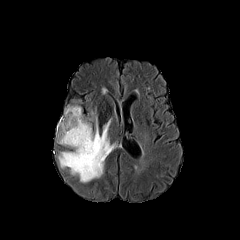
FLAIR MRI.
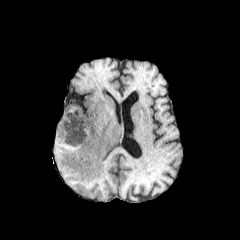
T1-weighted MR.
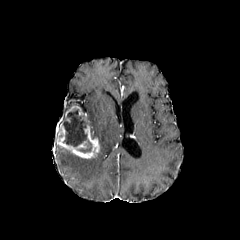
Post-contrast T1-weighted MR image.
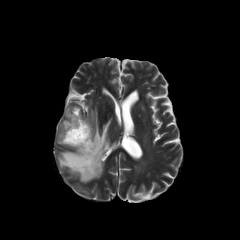
T2-weighted MR image.
Image size 240x240. Brain.
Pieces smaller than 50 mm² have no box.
<segmentation>
  <necrotic_tumor_core><bbox>79, 140, 91, 152</bbox>, <bbox>63, 108, 89, 146</bbox></necrotic_tumor_core>
  <peritumoral_edema><bbox>58, 110, 115, 182</bbox></peritumoral_edema>
  <enhancing_tumor><bbox>65, 105, 82, 117</bbox>, <bbox>56, 116, 99, 158</bbox></enhancing_tumor>
</segmentation>